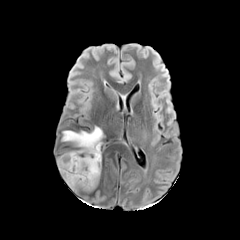
FLAIR MRI.
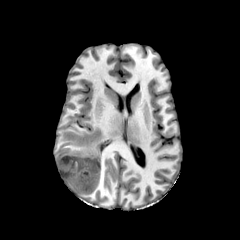
Same slice, T1-weighted MR.
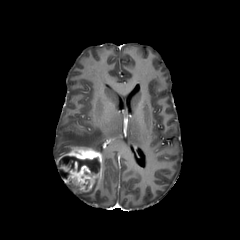
Post-contrast T1-weighted magnetic resonance.
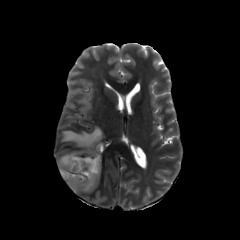
T2-weighted MRI.
Head | Axial slice
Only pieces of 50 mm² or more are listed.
Findings:
- peritumoral edema: region(62, 126, 103, 152)
- enhancing tumor: region(56, 146, 101, 191)
- necrotic tumor core: region(57, 156, 100, 178)